FLAIR magnetic resonance.
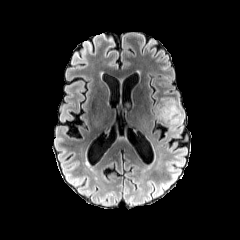
T1-weighted MR image.
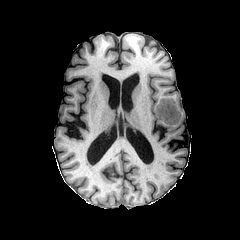
Post-contrast T1-weighted MRI.
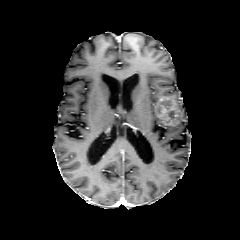
T2-weighted MR.
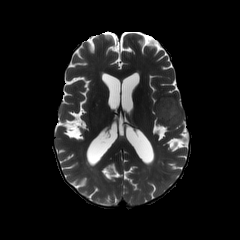
Axial plane
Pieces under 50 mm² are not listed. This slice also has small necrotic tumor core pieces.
The largest peritumoral edema region is bounded by <box>175,100,184,124</box>. The enhancing tumor appears at <box>157,97,179,124</box>.